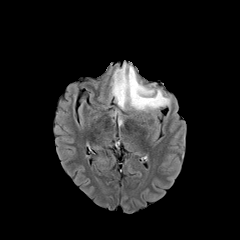
FLAIR MR image.
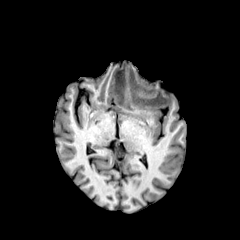
T1-weighted MR image.
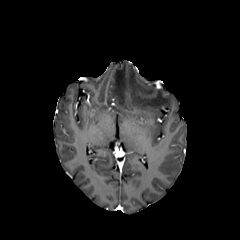
Post-contrast T1-weighted MRI of the same slice.
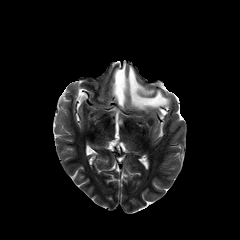
Same slice, T2-weighted MR image.
240x240, Axial slice, Head
peritumoral edema — 111:63:170:110